240x240, Head
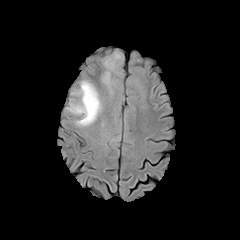
FLAIR MR.
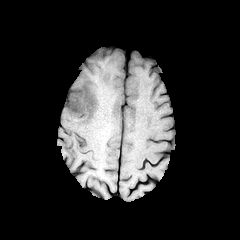
T1-weighted MRI.
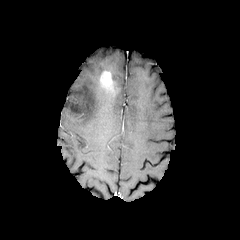
Post-contrast T1-weighted magnetic resonance.
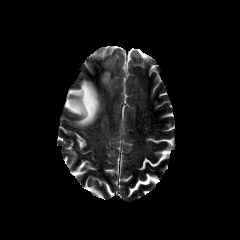
T2-weighted MR.
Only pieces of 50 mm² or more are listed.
The 2 largest peritumoral edema regions are located at <bbox>104, 52, 120, 71</bbox>, <bbox>66, 80, 101, 127</bbox>. The enhancing tumor is located at <bbox>101, 71, 114, 91</bbox>.